240x240, Slice 91/155
FLAIR magnetic resonance.
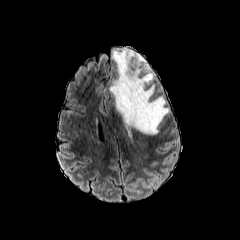
T1-weighted magnetic resonance.
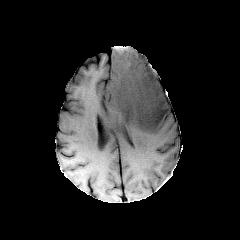
Post-contrast T1-weighted magnetic resonance.
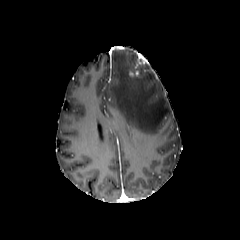
T2-weighted MRI.
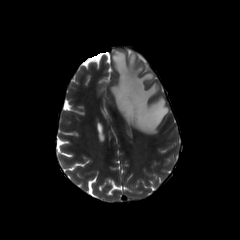
<segmentation>
  <enhancing_tumor>x1=137, y1=53, x2=147, y2=64; x1=129, y1=70, x2=139, y2=76</enhancing_tumor>
  <peritumoral_edema>x1=110, y1=46, x2=169, y2=134</peritumoral_edema>
</segmentation>